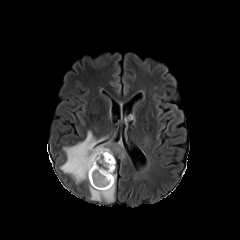
FLAIR MRI.
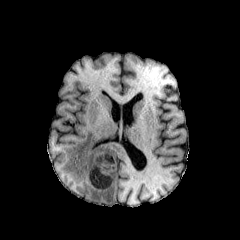
T1-weighted MRI.
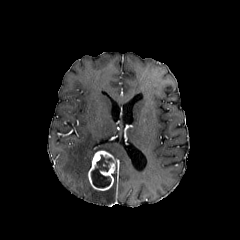
Post-contrast T1-weighted MR image of the same slice.
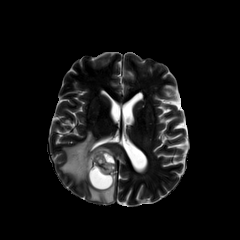
T2-weighted MR.
Axial plane, Brain
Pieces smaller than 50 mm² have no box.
<segmentation>
  <enhancing_tumor>(x1=88, y1=150, x2=115, y2=190)</enhancing_tumor>
  <peritumoral_edema>(x1=60, y1=131, x2=125, y2=183), (x1=89, y1=174, x2=116, y2=202)</peritumoral_edema>
  <necrotic_tumor_core>(x1=91, y1=155, x2=113, y2=187)</necrotic_tumor_core>
</segmentation>